FLAIR MRI.
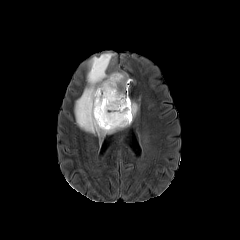
T1-weighted MRI.
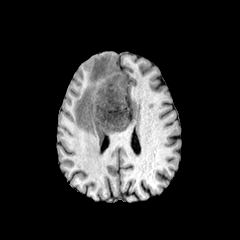
Post-contrast T1-weighted MRI.
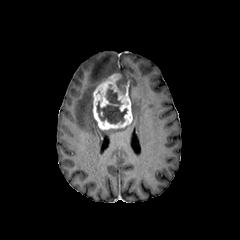
T2-weighted magnetic resonance.
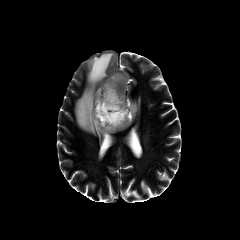
Head
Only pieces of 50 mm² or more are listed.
enhancing tumor at box(93, 73, 132, 130)
peritumoral edema at box(121, 74, 132, 82); box(131, 102, 137, 117); box(75, 53, 119, 137)
necrotic tumor core at box(97, 89, 127, 123); box(116, 79, 126, 93)